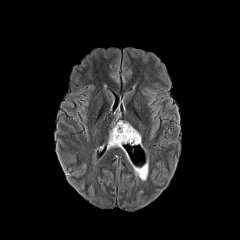
FLAIR MR.
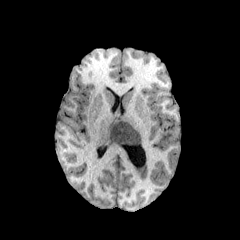
T1-weighted MRI.
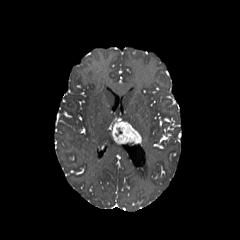
Post-contrast T1-weighted MR image.
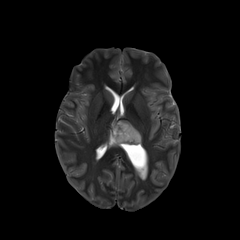
T2-weighted MRI.
Head
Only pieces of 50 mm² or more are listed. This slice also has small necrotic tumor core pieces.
peritumoral edema — (108,133,122,148)
enhancing tumor — (111,121,141,144)